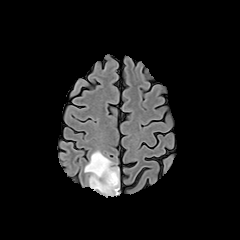
FLAIR MR.
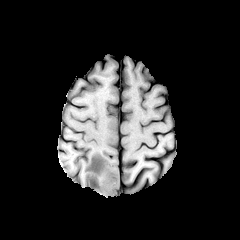
T1-weighted MRI.
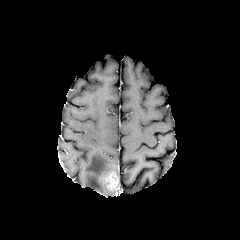
Same slice, post-contrast T1-weighted MR.
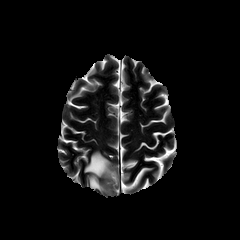
Same slice, T2-weighted MR.
Brain; Axial view
peritumoral edema = 84,151,117,195
enhancing tumor = 103,171,117,192